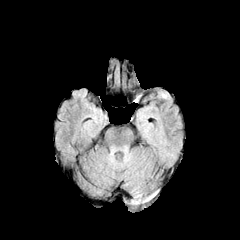
FLAIR MRI.
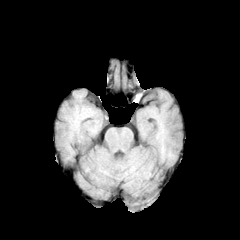
T1-weighted MR of the same slice.
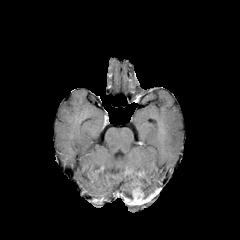
Post-contrast T1-weighted MR of the same slice.
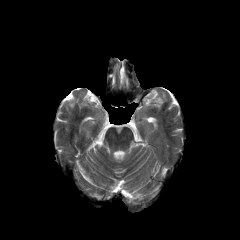
T2-weighted MR image.
Axial view
Findings:
• enhancing tumor: <bbox>133, 189, 143, 201</bbox>